FLAIR MR image.
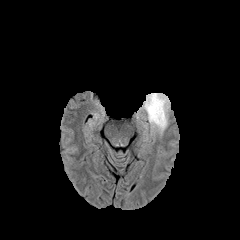
T1-weighted MRI.
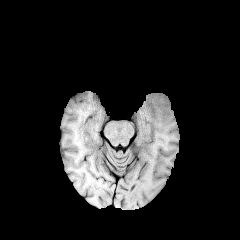
Post-contrast T1-weighted MR.
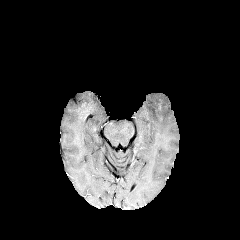
T2-weighted MRI.
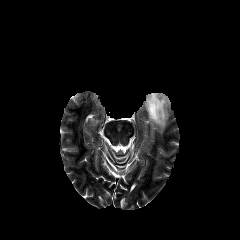
Brain. 240x240 px.
Segmented structures:
- peritumoral edema: box(141, 93, 170, 135)